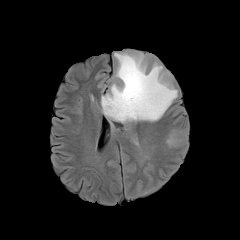
FLAIR MRI.
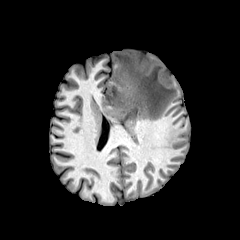
T1-weighted MRI.
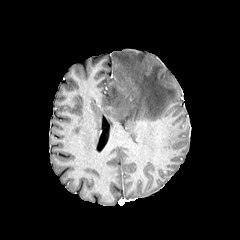
Post-contrast T1-weighted magnetic resonance.
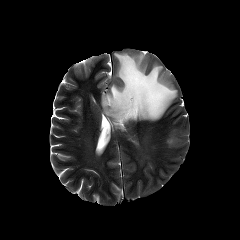
T2-weighted MRI.
<segmentation>
  <peritumoral_edema>(x1=101, y1=52, x2=177, y2=145), (x1=166, y1=130, x2=188, y2=149)</peritumoral_edema>
</segmentation>